FLAIR magnetic resonance.
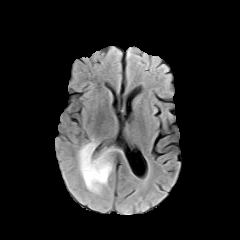
T1-weighted MR.
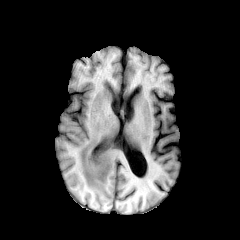
Post-contrast T1-weighted MR.
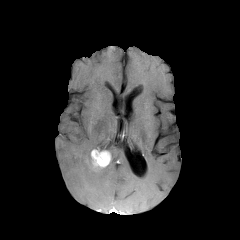
T2-weighted MR.
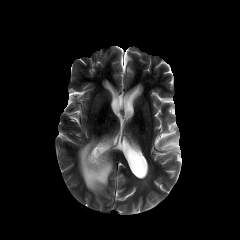
Brain.
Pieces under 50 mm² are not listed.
• enhancing tumor: [x1=91, y1=149, x2=110, y2=171]
• peritumoral edema: [x1=78, y1=138, x2=113, y2=194]